Head
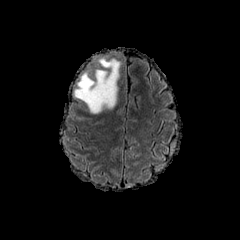
FLAIR magnetic resonance.
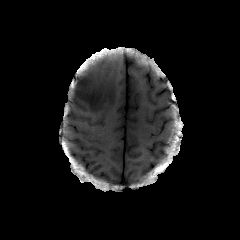
T1-weighted MR.
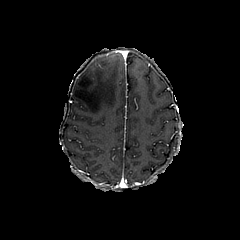
Post-contrast T1-weighted MRI.
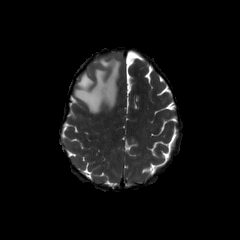
Same slice, T2-weighted MR.
Findings:
- peritumoral edema: 73 58 120 113